Axial plane, Image size 240x240, Slice 47/155
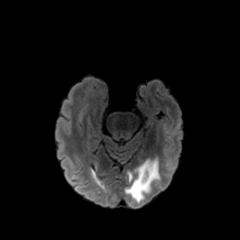
FLAIR MR.
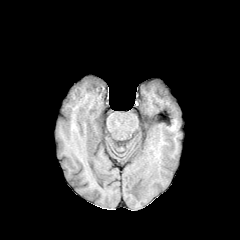
T1-weighted MRI of the same slice.
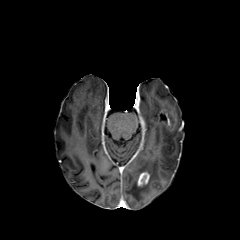
Same slice, post-contrast T1-weighted MR image.
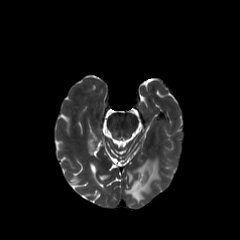
T2-weighted MRI of the same slice.
Annotated regions:
• enhancing tumor: [137, 172, 149, 186]
• peritumoral edema: [125, 158, 159, 202]